Axial plane; Brain
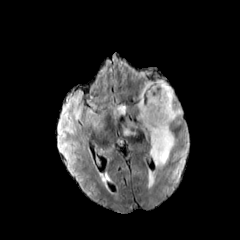
FLAIR magnetic resonance.
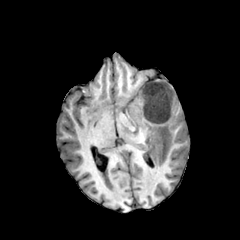
Same slice, T1-weighted MR.
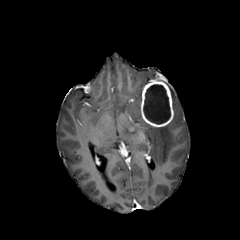
Post-contrast T1-weighted magnetic resonance.
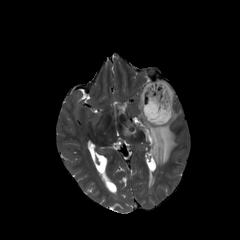
Same slice, T2-weighted MR image.
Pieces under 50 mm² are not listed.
{"necrotic_tumor_core": ["[x1=143, y1=84, x2=170, y2=124]"], "enhancing_tumor": ["[x1=141, y1=80, x2=173, y2=127]"], "peritumoral_edema": ["[x1=118, y1=106, x2=125, y2=113]", "[x1=138, y1=92, x2=181, y2=165]"]}